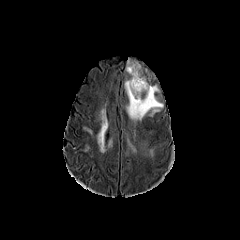
FLAIR MRI.
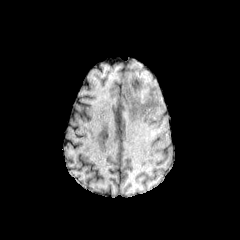
Same slice, T1-weighted MR.
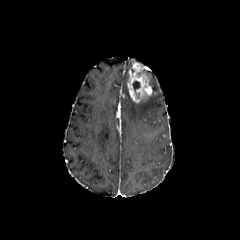
Same slice, post-contrast T1-weighted MRI.
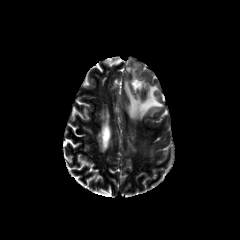
T2-weighted magnetic resonance.
Head; Image size 240x240; Axial slice
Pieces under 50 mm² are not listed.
The largest peritumoral edema region is located at left=124, top=78, right=163, bottom=121. The enhancing tumor is at left=127, top=59, right=157, bottom=103. The largest necrotic tumor core region appears at left=133, top=81, right=139, bottom=91.